FLAIR MRI.
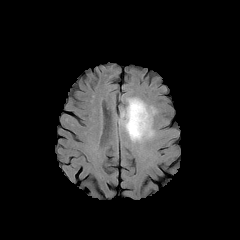
T1-weighted MRI.
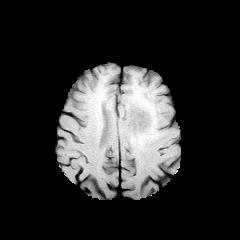
Post-contrast T1-weighted MR.
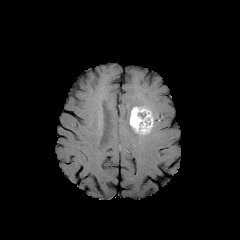
T2-weighted MR.
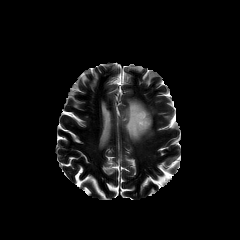
Head.
Annotated regions:
- peritumoral edema: [x1=119, y1=98, x2=155, y2=142]
- enhancing tumor: [x1=129, y1=106, x2=153, y2=134]